FLAIR MR.
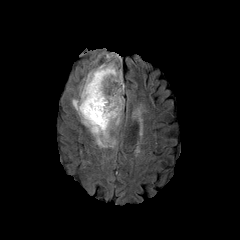
T1-weighted magnetic resonance.
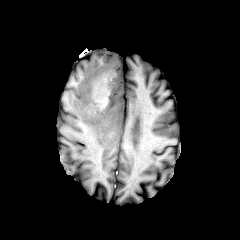
Post-contrast T1-weighted magnetic resonance.
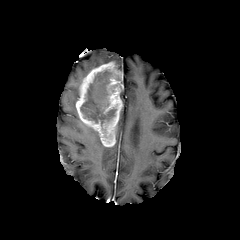
T2-weighted MR image.
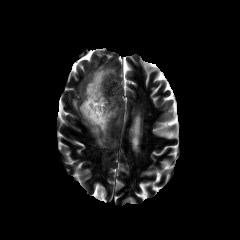
Head | Image size 240x240 | Axial slice
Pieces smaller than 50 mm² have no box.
<segmentation>
  <enhancing_tumor>75:62:123:146</enhancing_tumor>
  <necrotic_tumor_core>80:70:116:126</necrotic_tumor_core>
  <peritumoral_edema>85:125:116:148, 71:98:77:111</peritumoral_edema>
</segmentation>